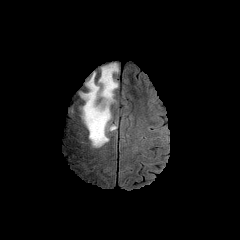
FLAIR magnetic resonance.
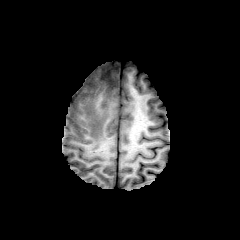
T1-weighted MRI.
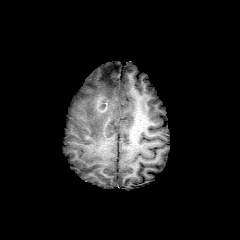
Post-contrast T1-weighted MR image.
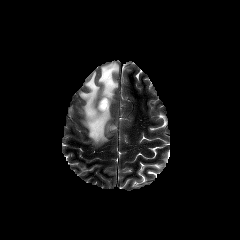
Same slice, T2-weighted MR image.
Axial plane
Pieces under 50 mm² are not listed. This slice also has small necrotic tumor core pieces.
The enhancing tumor is at <bbox>97, 98, 107, 112</bbox>. The largest peritumoral edema region is at <bbox>80, 63, 118, 146</bbox>.